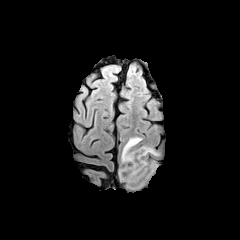
FLAIR MRI.
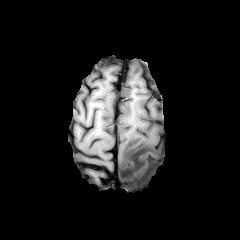
T1-weighted MR.
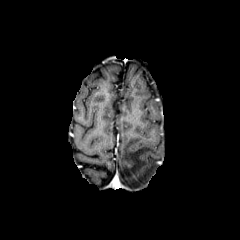
Post-contrast T1-weighted magnetic resonance.
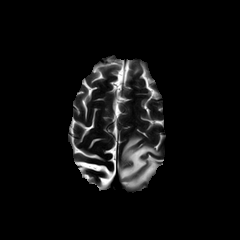
T2-weighted magnetic resonance.
240x240
The peritumoral edema is located at [x1=119, y1=137, x2=159, y2=188].